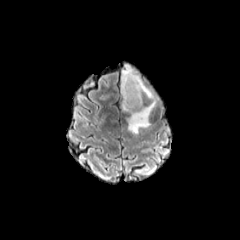
FLAIR magnetic resonance.
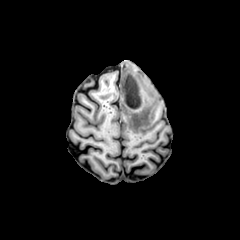
T1-weighted magnetic resonance.
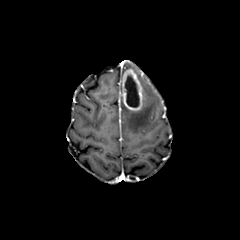
Same slice, post-contrast T1-weighted MRI.
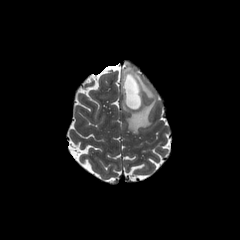
T2-weighted magnetic resonance.
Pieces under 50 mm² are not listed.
The necrotic tumor core is at x1=125 y1=75 x2=139 y2=107. The largest peritumoral edema region is at x1=122 y1=71 x2=158 y2=134. The enhancing tumor is bounded by x1=121 y1=68 x2=143 y2=111.